FLAIR MR image.
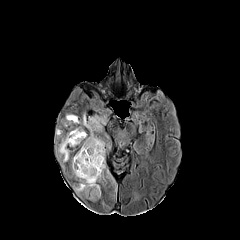
T1-weighted MRI.
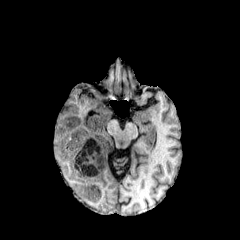
Post-contrast T1-weighted MR.
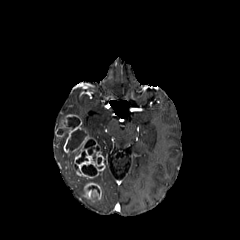
T2-weighted MR.
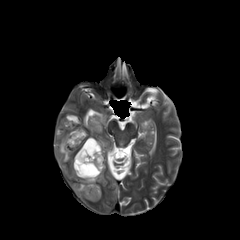
Head.
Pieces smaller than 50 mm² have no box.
Segmented structures:
* enhancing tumor: 82 182 101 201, 71 135 105 178, 55 114 83 154
* peritumoral edema: 56 134 69 162, 82 113 106 156, 72 156 103 194, 107 171 116 192
* necrotic tumor core: 67 117 79 129, 84 139 99 154, 66 129 85 154, 76 151 87 163, 82 164 97 175